Slice index 145
FLAIR MR.
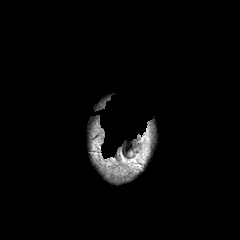
T1-weighted magnetic resonance.
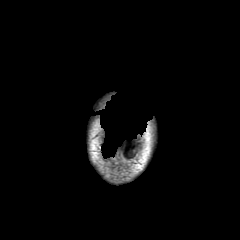
Post-contrast T1-weighted MR image.
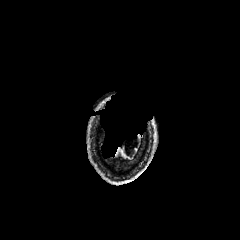
T2-weighted MR.
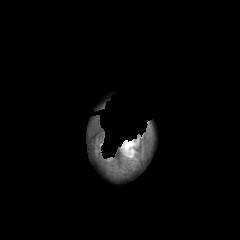
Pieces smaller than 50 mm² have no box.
The largest peritumoral edema region is bounded by 122,154,139,165.